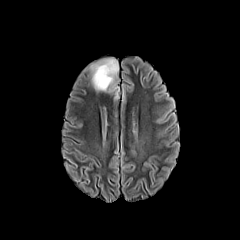
FLAIR magnetic resonance.
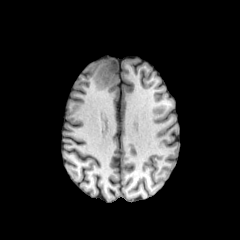
T1-weighted magnetic resonance.
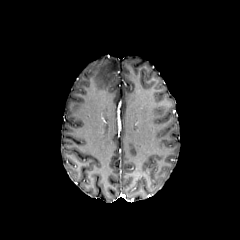
Same slice, post-contrast T1-weighted magnetic resonance.
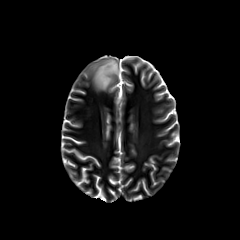
Same slice, T2-weighted MRI.
Axial view. Brain.
<segmentation>
  <peritumoral_edema><bbox>90, 58, 118, 91</bbox></peritumoral_edema>
</segmentation>